FLAIR MR image.
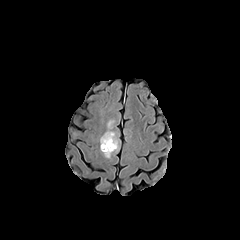
T1-weighted MR.
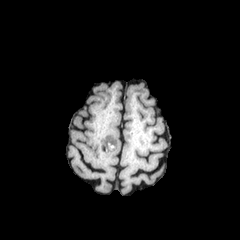
Post-contrast T1-weighted magnetic resonance.
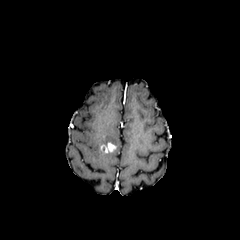
T2-weighted MRI.
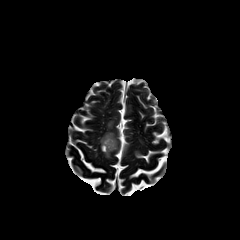
240x240 px; Brain; Axial view
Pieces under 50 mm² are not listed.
enhancing_tumor:
  - x1=101 y1=142 x2=116 y2=152
peritumoral_edema:
  - x1=100 y1=130 x2=120 y2=158